FLAIR MR image.
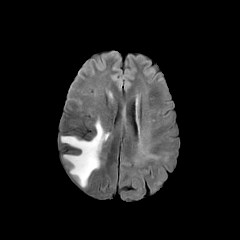
T1-weighted MRI.
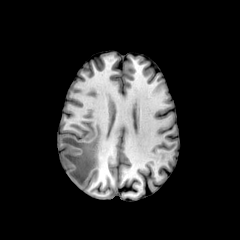
Post-contrast T1-weighted MRI.
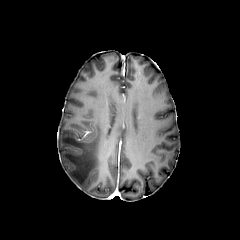
T2-weighted MR image.
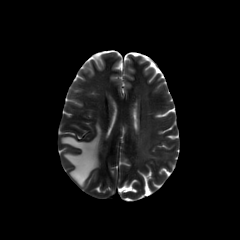
Segmented structures:
• peritumoral edema: <bbox>61, 120, 109, 186</bbox>